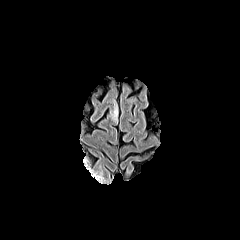
FLAIR MR image.
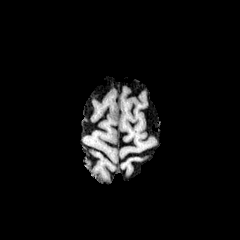
Same slice, T1-weighted MR image.
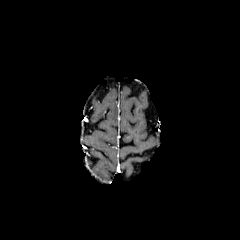
Same slice, post-contrast T1-weighted magnetic resonance.
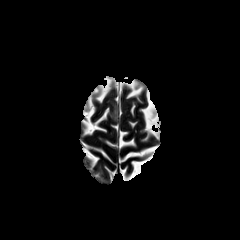
T2-weighted MRI.
240x240 px, Brain
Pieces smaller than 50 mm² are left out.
<segmentation>
  <peritumoral_edema>109 97 119 124</peritumoral_edema>
</segmentation>